FLAIR MR image.
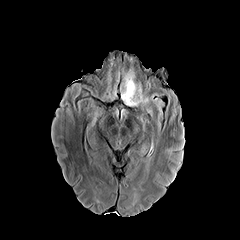
T1-weighted MRI.
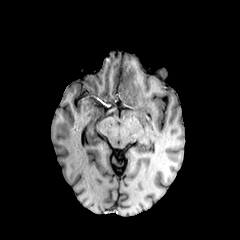
Post-contrast T1-weighted MRI.
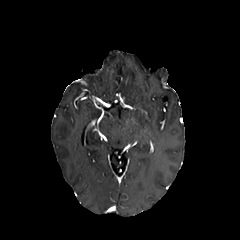
T2-weighted MR image.
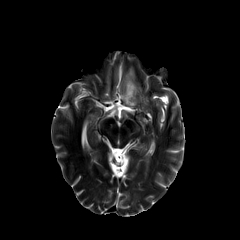
Axial view; 240x240 px; Head
The peritumoral edema is located at bbox(121, 69, 148, 107).